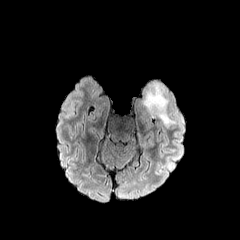
FLAIR MRI.
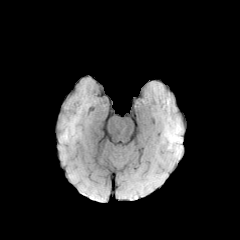
T1-weighted MR.
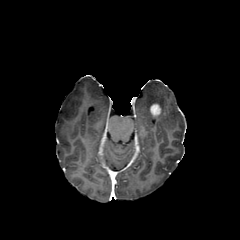
Post-contrast T1-weighted MRI of the same slice.
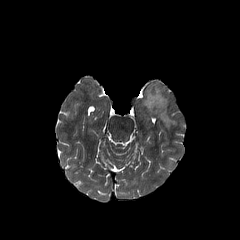
Same slice, T2-weighted MRI.
Image size 240x240
<segmentation>
  <peritumoral_edema>143 86 174 127</peritumoral_edema>
  <enhancing_tumor>150 103 161 116</enhancing_tumor>
</segmentation>